Slice index 59.
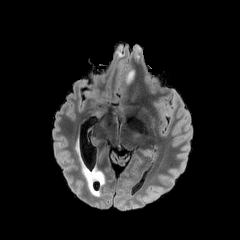
FLAIR MR.
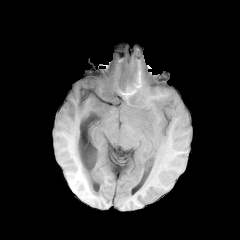
Same slice, T1-weighted MRI.
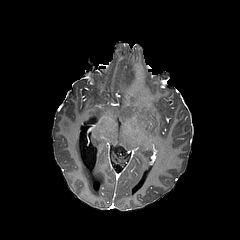
Same slice, post-contrast T1-weighted magnetic resonance.
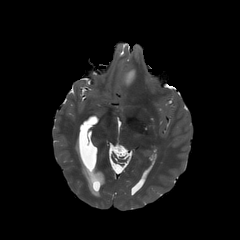
T2-weighted MRI.
peritumoral_edema:
  - 121, 69, 135, 85